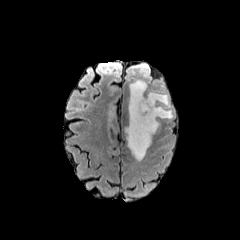
FLAIR MR image.
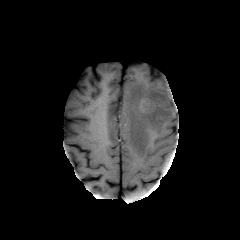
T1-weighted MR.
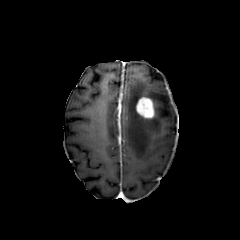
Post-contrast T1-weighted MR.
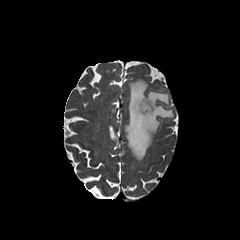
T2-weighted magnetic resonance of the same slice.
Brain.
enhancing_tumor:
  - region(136, 97, 155, 118)
peritumoral_edema:
  - region(125, 79, 173, 160)